FLAIR MRI.
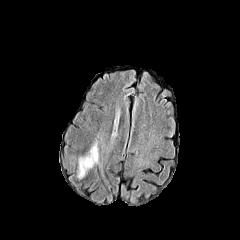
T1-weighted MRI.
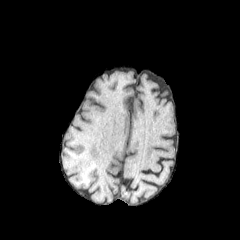
Post-contrast T1-weighted magnetic resonance.
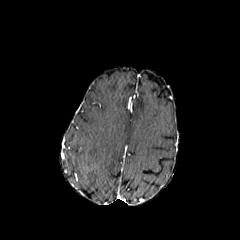
T2-weighted magnetic resonance.
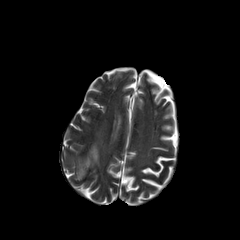
peritumoral edema: 77 143 98 178